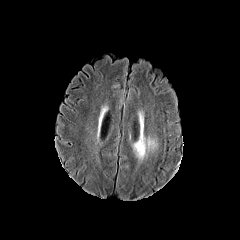
FLAIR magnetic resonance.
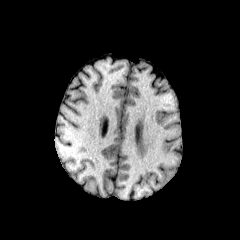
T1-weighted MR.
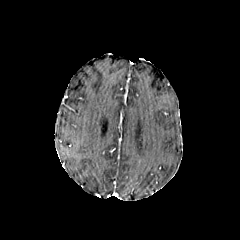
Post-contrast T1-weighted MRI.
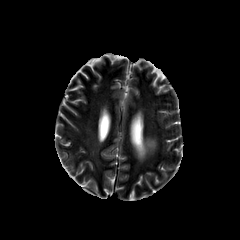
T2-weighted MRI.
Axial plane.
peritumoral edema at {"x1": 133, "y1": 130, "x2": 156, "y2": 159}